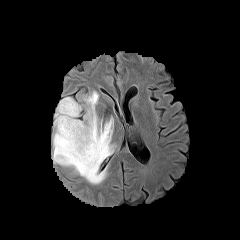
FLAIR MR image.
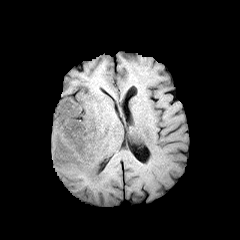
T1-weighted magnetic resonance of the same slice.
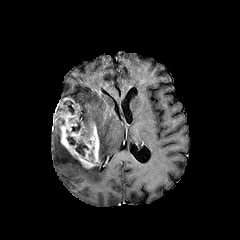
Post-contrast T1-weighted magnetic resonance of the same slice.
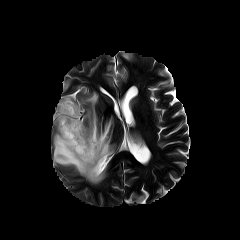
Same slice, T2-weighted MRI.
Axial view, Image size 240x240
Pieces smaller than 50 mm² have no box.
enhancing tumor: l=53, t=97, r=100, b=168 | peritumoral edema: l=83, t=91, r=115, b=162; l=53, t=125, r=107, b=184 | necrotic tumor core: l=64, t=101, r=74, b=114; l=67, t=136, r=88, b=156; l=72, t=122, r=80, b=131